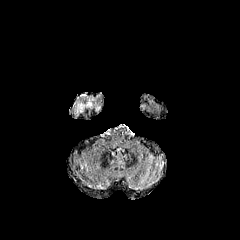
FLAIR magnetic resonance.
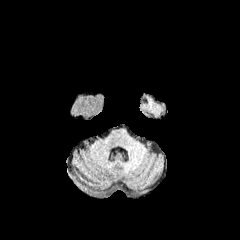
Same slice, T1-weighted MR.
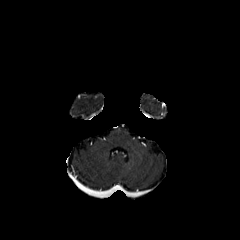
Post-contrast T1-weighted magnetic resonance.
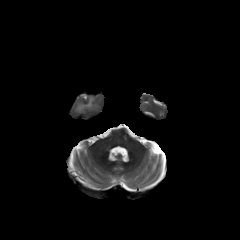
T2-weighted MR of the same slice.
Head
The peritumoral edema is located at x1=76 y1=98 x2=93 y2=112.